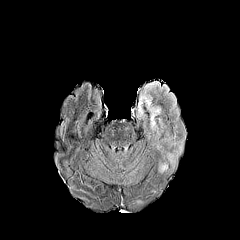
FLAIR MR.
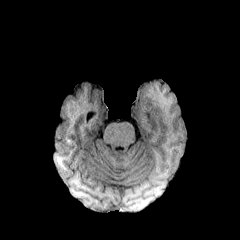
T1-weighted MRI.
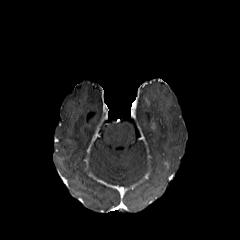
Post-contrast T1-weighted magnetic resonance of the same slice.
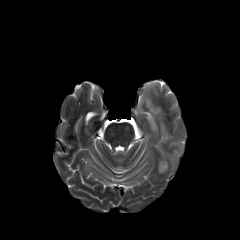
Same slice, T2-weighted MR.
Head, 240x240, Axial slice
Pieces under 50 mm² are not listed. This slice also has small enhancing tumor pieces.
{
  "peritumoral_edema": [
    "170,142,182,154",
    "166,152,173,163",
    "138,84,160,132",
    "159,162,167,172"
  ]
}